Image size 240x240, Head
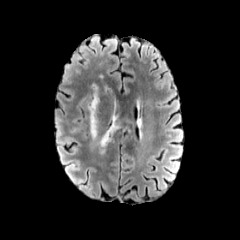
FLAIR MR.
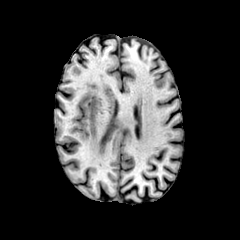
T1-weighted MR image of the same slice.
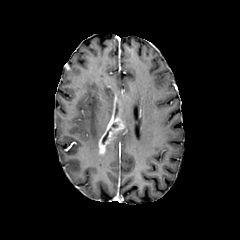
Post-contrast T1-weighted magnetic resonance.
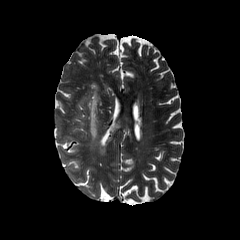
Same slice, T2-weighted MRI.
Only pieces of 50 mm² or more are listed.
- peritumoral edema: <box>88,83,99,140</box>
- necrotic tumor core: <box>102,128,111,143</box>
- enhancing tumor: <box>99,117,124,154</box>